Head
FLAIR MRI.
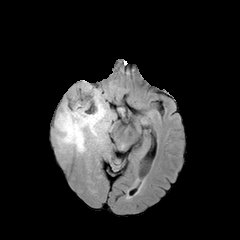
T1-weighted MRI.
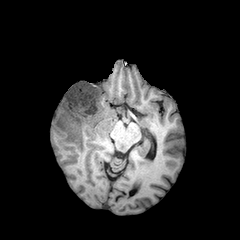
Post-contrast T1-weighted magnetic resonance.
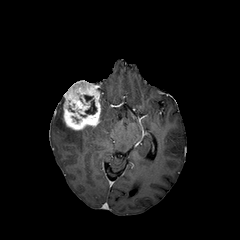
T2-weighted magnetic resonance.
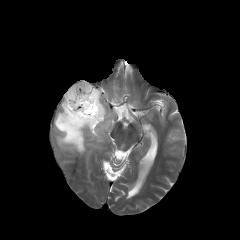
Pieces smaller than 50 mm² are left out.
The enhancing tumor lies within l=63, t=80, r=101, b=130. The largest peritumoral edema region is located at l=55, t=92, r=113, b=154. The largest necrotic tumor core region is bounded by l=85, t=100, r=96, b=114.